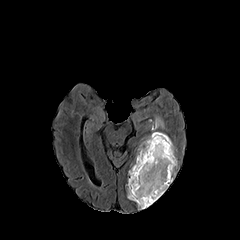
FLAIR magnetic resonance.
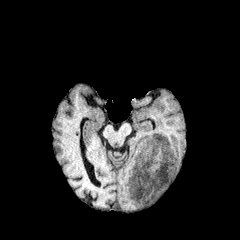
T1-weighted MR image.
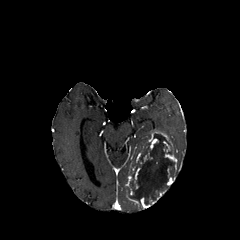
Post-contrast T1-weighted MR image.
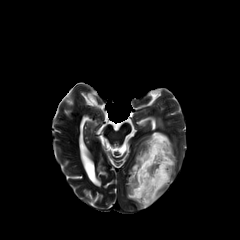
Same slice, T2-weighted MR image.
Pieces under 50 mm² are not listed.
{"enhancing_tumor": ["region(134, 168, 140, 188)", "region(167, 168, 173, 185)", "region(147, 131, 177, 169)", "region(140, 189, 166, 209)"], "necrotic_tumor_core": ["region(127, 134, 176, 207)"], "peritumoral_edema": ["region(137, 135, 150, 154)", "region(151, 117, 163, 131)"]}